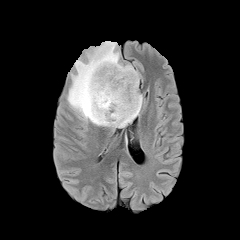
FLAIR magnetic resonance.
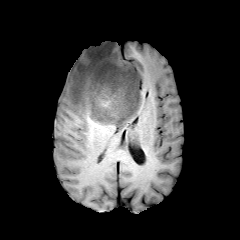
T1-weighted MR of the same slice.
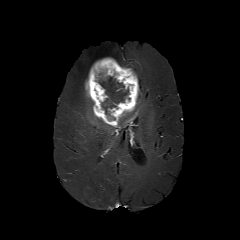
Post-contrast T1-weighted MR.
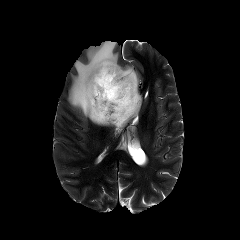
Same slice, T2-weighted MR.
Brain
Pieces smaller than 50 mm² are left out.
The largest enhancing tumor region is bounded by box=[85, 57, 139, 127]. The 2 largest peritumoral edema regions are bounded by box=[119, 92, 142, 127]; box=[67, 41, 134, 128]. The necrotic tumor core is bounded by box=[98, 76, 128, 114].